FLAIR MR image.
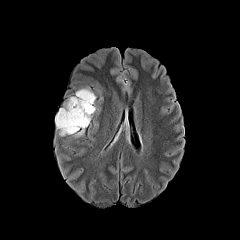
T1-weighted MRI.
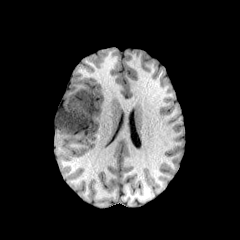
Post-contrast T1-weighted magnetic resonance.
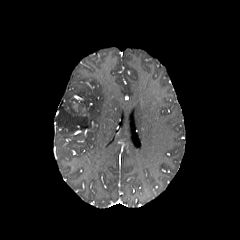
T2-weighted MR image.
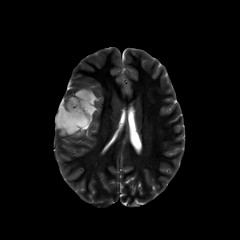
Axial plane.
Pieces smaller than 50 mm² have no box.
The largest enhancing tumor region appears at [73,101,78,111]. The largest peritumoral edema region lies within [55,88,96,135]. The largest necrotic tumor core region appears at [68,119,86,131].